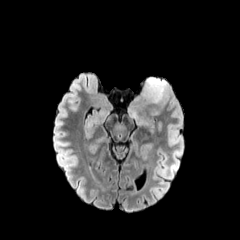
FLAIR MRI.
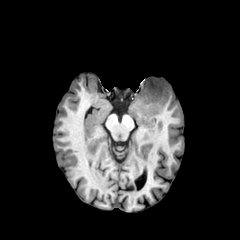
T1-weighted magnetic resonance of the same slice.
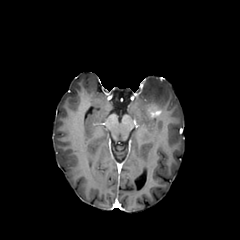
Post-contrast T1-weighted MRI.
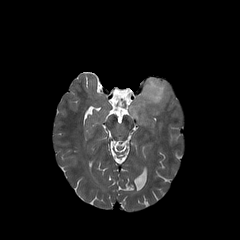
T2-weighted MR.
Segmented structures:
* enhancing tumor: [147, 105, 161, 117]
* peritumoral edema: [129, 77, 168, 123]